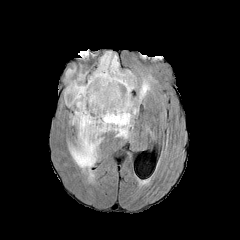
FLAIR MR image.
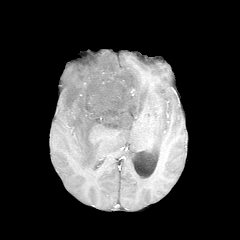
Same slice, T1-weighted MRI.
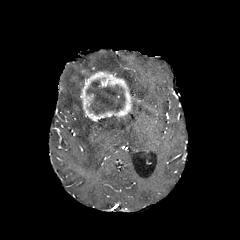
Post-contrast T1-weighted MR.
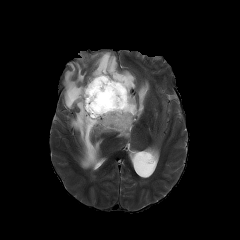
Same slice, T2-weighted MRI.
Axial slice. Image size 240x240.
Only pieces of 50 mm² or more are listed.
* enhancing tumor: [80, 70, 133, 121]
* necrotic tumor core: [87, 79, 124, 114]
* peritumoral edema: [64, 66, 149, 170], [92, 51, 136, 93]